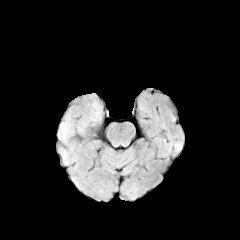
FLAIR magnetic resonance.
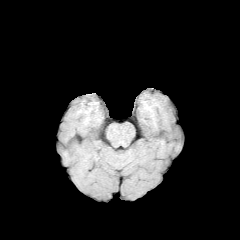
T1-weighted MR image.
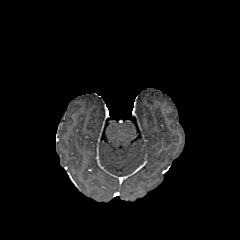
Post-contrast T1-weighted MR image.
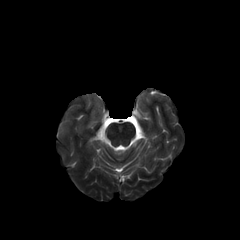
Same slice, T2-weighted MR image.
Axial view; 240x240
peritumoral_edema:
  - <box>59,119,69,139</box>